FLAIR MR image.
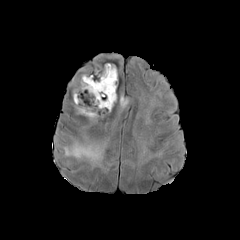
T1-weighted MRI.
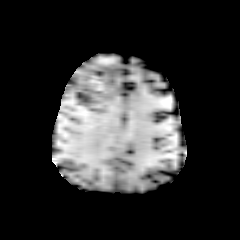
Post-contrast T1-weighted magnetic resonance.
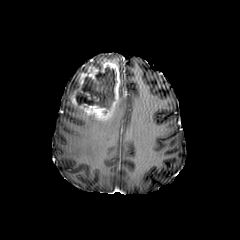
T2-weighted MR.
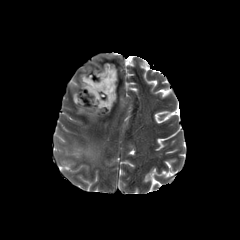
Head
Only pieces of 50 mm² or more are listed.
necrotic tumor core = bbox=[76, 67, 117, 108]
peritumoral edema = bbox=[63, 144, 103, 165]; bbox=[120, 96, 128, 107]
enhancing tumor = bbox=[72, 62, 120, 119]